Brain
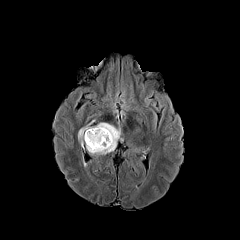
FLAIR magnetic resonance.
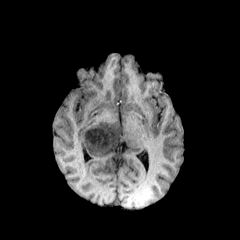
Same slice, T1-weighted MR image.
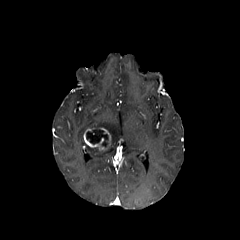
Same slice, post-contrast T1-weighted MR.
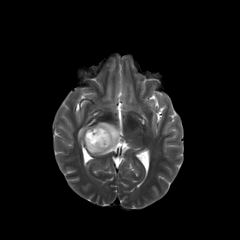
Same slice, T2-weighted MR image.
enhancing tumor — (83,128,111,151)
peritumoral edema — (78,120,121,155)
necrotic tumor core — (86,129,108,147)